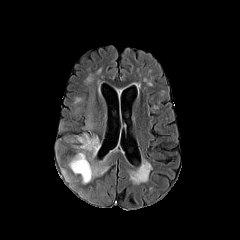
FLAIR MR image.
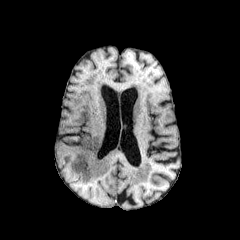
T1-weighted MRI of the same slice.
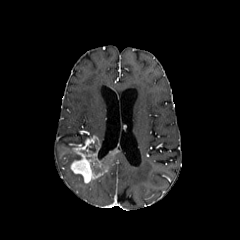
Post-contrast T1-weighted MR.
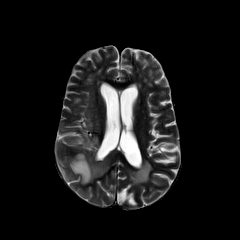
T2-weighted magnetic resonance.
240x240
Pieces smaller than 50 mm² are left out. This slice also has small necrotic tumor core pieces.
peritumoral_edema:
  - box=[71, 134, 90, 143]
  - box=[68, 155, 78, 168]
  - box=[84, 121, 93, 130]
enhancing_tumor:
  - box=[57, 135, 120, 183]